240x240 px
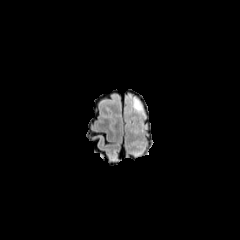
FLAIR magnetic resonance.
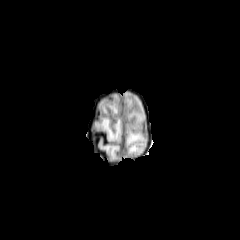
Same slice, T1-weighted magnetic resonance.
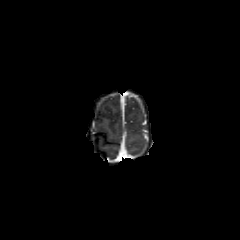
Post-contrast T1-weighted MR.
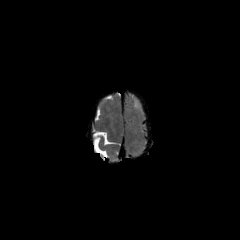
Same slice, T2-weighted MR.
Findings:
* peritumoral edema: [134,99,141,110]